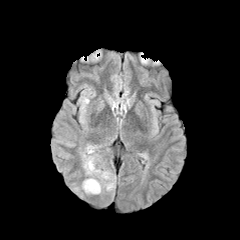
FLAIR MRI.
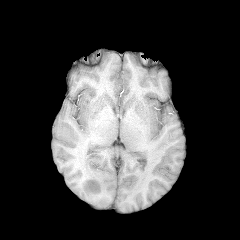
T1-weighted MR image.
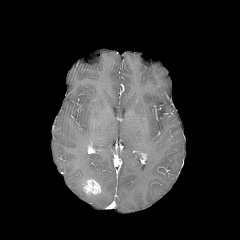
Same slice, post-contrast T1-weighted MR image.
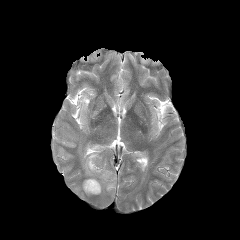
T2-weighted magnetic resonance of the same slice.
Brain.
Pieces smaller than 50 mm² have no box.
peritumoral edema: bounding box (74, 144, 115, 196)
enhancing tumor: bounding box (83, 179, 100, 194)